FLAIR MRI.
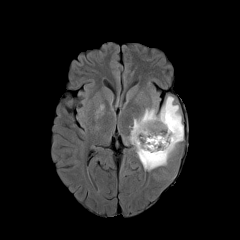
T1-weighted MR.
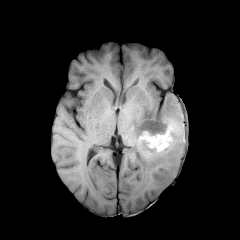
Post-contrast T1-weighted magnetic resonance.
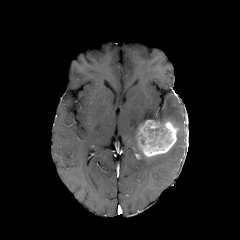
T2-weighted magnetic resonance.
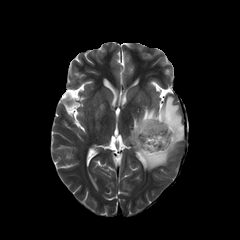
Brain, Axial view
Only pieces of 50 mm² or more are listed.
peritumoral edema at bbox=[128, 96, 183, 170]; bbox=[93, 103, 105, 131]
enhancing tumor at bbox=[138, 119, 177, 156]
necrotic tumor core at bbox=[148, 129, 170, 147]